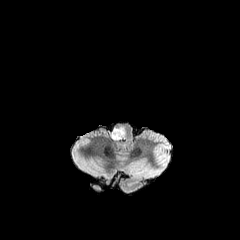
FLAIR MR image.
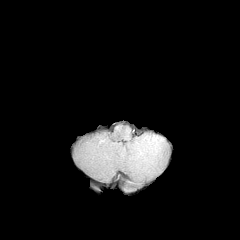
T1-weighted MR image of the same slice.
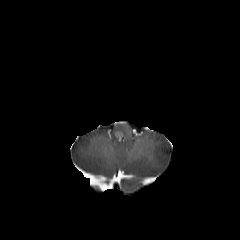
Same slice, post-contrast T1-weighted MR image.
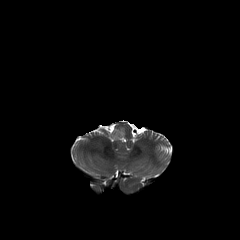
T2-weighted magnetic resonance.
Brain
* peritumoral edema: l=110, t=125, r=126, b=140
* enhancing tumor: l=115, t=130, r=123, b=141